Axial view | Image covers 240 mm x 240 mm | Image size 240x240 | Brain
FLAIR MR.
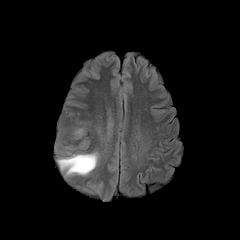
T1-weighted MR.
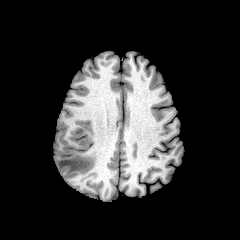
Post-contrast T1-weighted MRI.
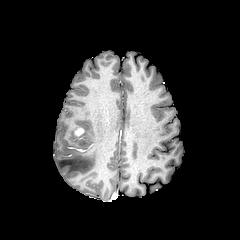
T2-weighted magnetic resonance.
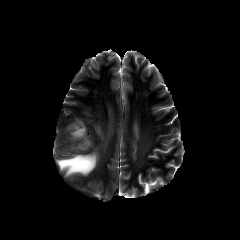
enhancing tumor — [x1=75, y1=128, x2=83, y2=135]
peritumoral edema — [x1=57, y1=153, x2=97, y2=175]